Axial slice | Head
FLAIR magnetic resonance.
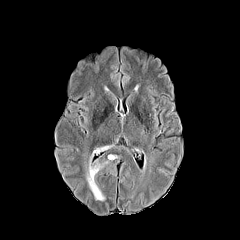
T1-weighted MRI.
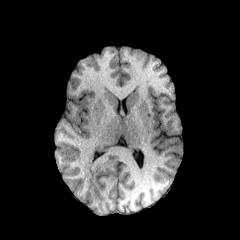
Post-contrast T1-weighted MR.
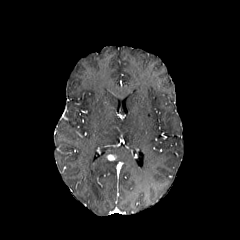
T2-weighted MR image.
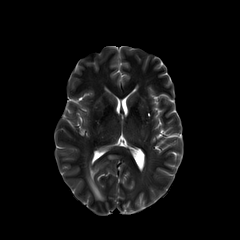
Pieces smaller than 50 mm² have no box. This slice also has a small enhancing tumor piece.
Findings:
• peritumoral edema: [x1=86, y1=144, x2=114, y2=201]